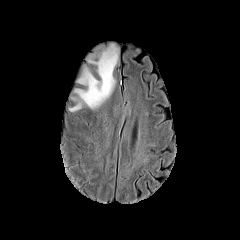
FLAIR MR.
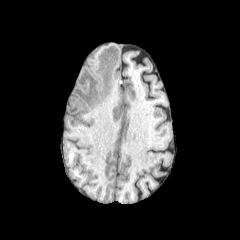
T1-weighted MR image of the same slice.
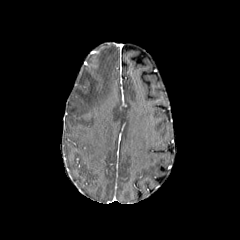
Post-contrast T1-weighted MRI.
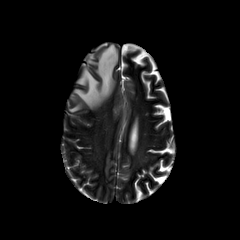
T2-weighted MR image of the same slice.
Axial slice
2 peritumoral edema regions are located at [75, 44, 117, 108], [69, 102, 81, 111].